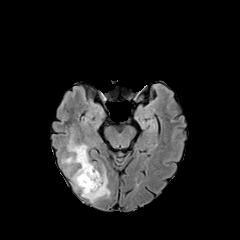
FLAIR MRI.
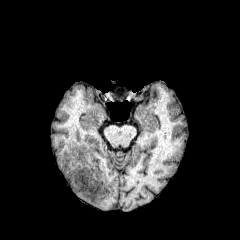
Same slice, T1-weighted magnetic resonance.
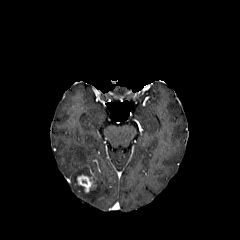
Post-contrast T1-weighted MRI of the same slice.
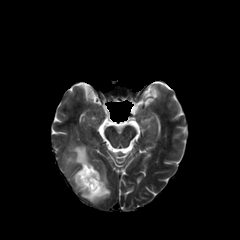
Same slice, T2-weighted MR image.
Axial slice.
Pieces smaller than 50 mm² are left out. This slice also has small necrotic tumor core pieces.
peritumoral_edema:
  - box=[81, 166, 110, 202]
  - box=[62, 139, 94, 189]
enhancing_tumor:
  - box=[77, 169, 96, 192]